Slice 99/155; Image width 240 mm, 1.00 mm slice spacing; Axial slice
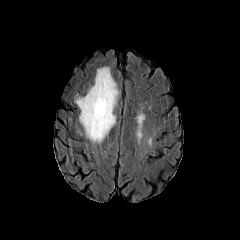
FLAIR MR.
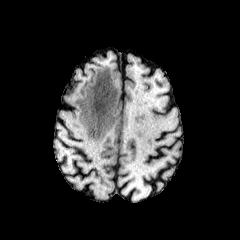
Same slice, T1-weighted MR.
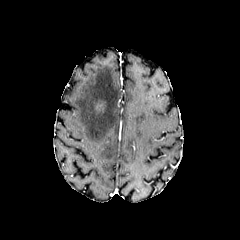
Same slice, post-contrast T1-weighted magnetic resonance.
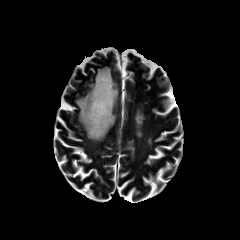
T2-weighted MR.
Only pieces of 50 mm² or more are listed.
Findings:
- peritumoral edema: 74 66 120 143